FLAIR MR.
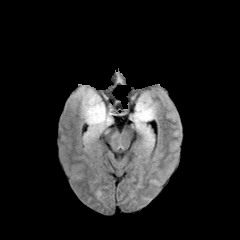
T1-weighted MR.
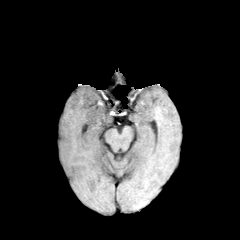
Post-contrast T1-weighted MRI.
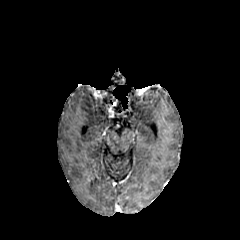
T2-weighted MR.
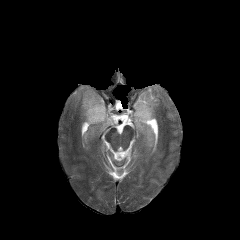
peritumoral edema: box=[73, 86, 112, 143]; box=[133, 95, 155, 145]